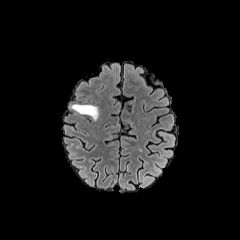
FLAIR MRI.
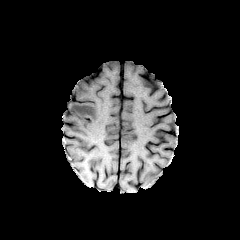
Same slice, T1-weighted magnetic resonance.
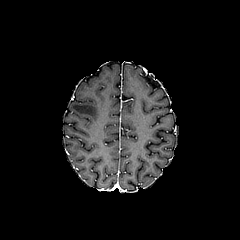
Same slice, post-contrast T1-weighted magnetic resonance.
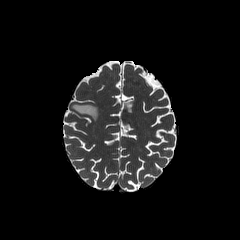
T2-weighted MR.
Head
peritumoral edema — [71, 104, 98, 120]